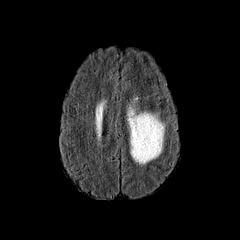
FLAIR MR.
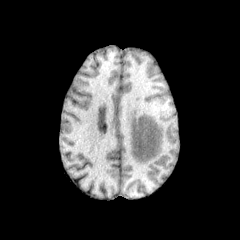
T1-weighted MRI of the same slice.
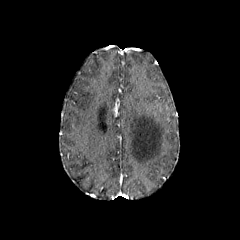
Post-contrast T1-weighted MR.
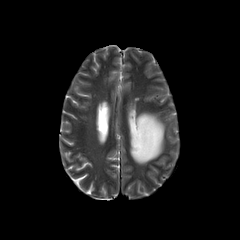
T2-weighted MR image.
Brain. Image size 240x240.
peritumoral edema: l=128, t=107, r=164, b=164